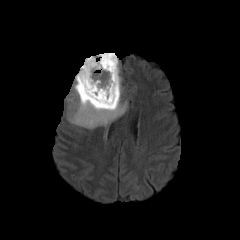
FLAIR magnetic resonance.
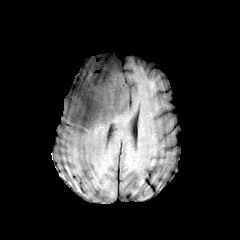
T1-weighted magnetic resonance.
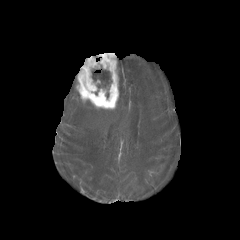
Post-contrast T1-weighted MR image.
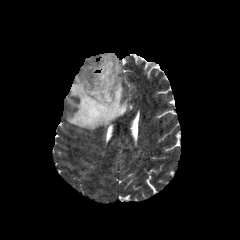
Same slice, T2-weighted MRI.
Image size 240x240 | Axial plane
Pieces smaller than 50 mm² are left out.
• necrotic tumor core: 92,65,112,88
• enhancing tumor: 76,53,119,109
• peritumoral edema: 67,58,127,129